FLAIR MR image.
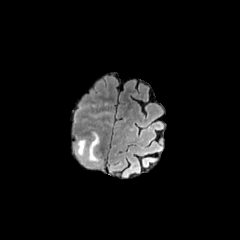
T1-weighted MRI.
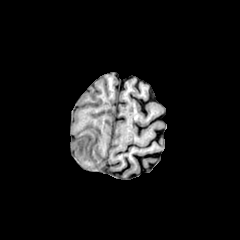
Post-contrast T1-weighted magnetic resonance.
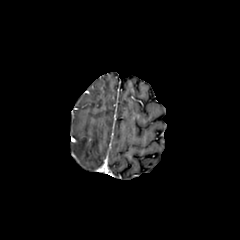
T2-weighted MR.
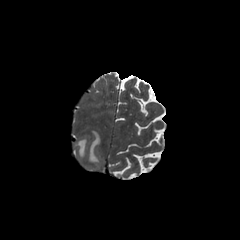
• peritumoral edema: 76, 139, 86, 156; 88, 132, 99, 161